FLAIR MR.
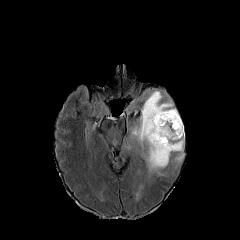
T1-weighted MR.
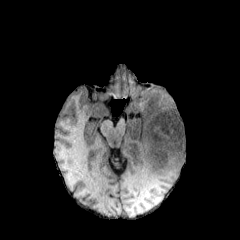
Post-contrast T1-weighted MR.
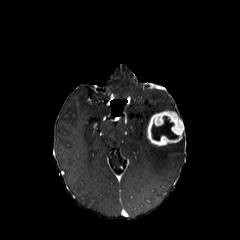
T2-weighted MR image.
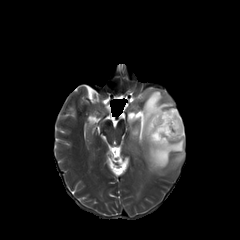
Axial slice; 240x240; Head
enhancing tumor: left=147, top=110, right=184, bottom=146 | necrotic tumor core: left=151, top=116, right=178, bottom=140 | peritumoral edema: left=132, top=90, right=184, bottom=175